Head; Image covers 240 mm x 240 mm; Slice 141 of 155
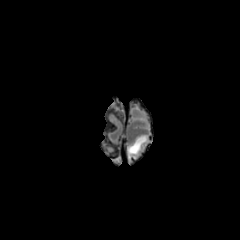
FLAIR magnetic resonance.
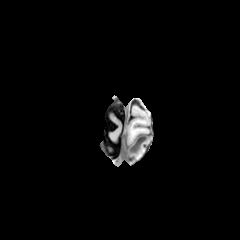
Same slice, T1-weighted MRI.
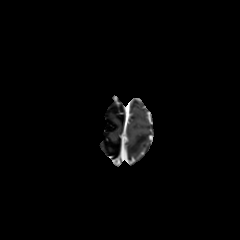
Post-contrast T1-weighted MR image.
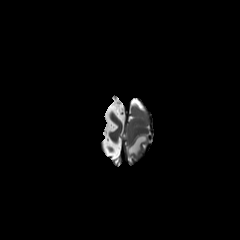
T2-weighted MRI.
The peritumoral edema is located at [x1=127, y1=135, x2=147, y2=155].